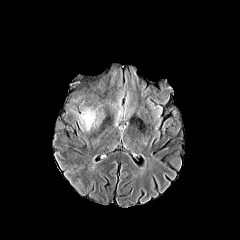
FLAIR magnetic resonance.
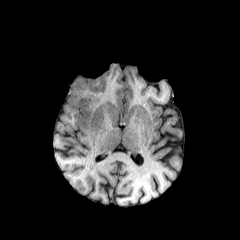
T1-weighted MRI of the same slice.
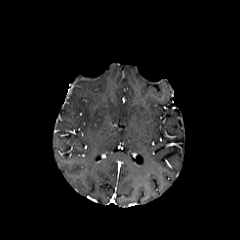
Post-contrast T1-weighted MR image of the same slice.
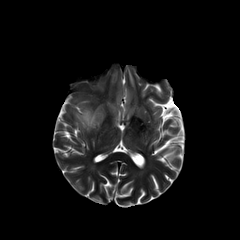
Same slice, T2-weighted MR image.
Head
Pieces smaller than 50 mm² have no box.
peritumoral edema: 79,108,98,130